Brain.
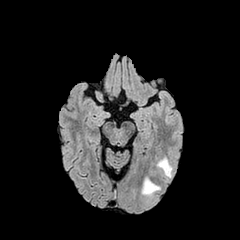
FLAIR magnetic resonance.
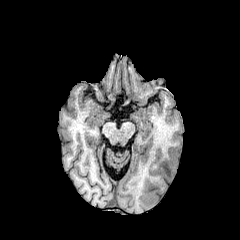
Same slice, T1-weighted magnetic resonance.
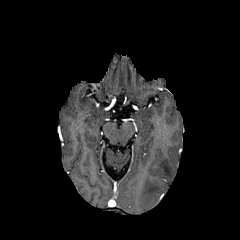
Post-contrast T1-weighted magnetic resonance.
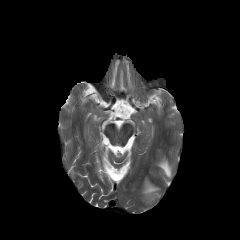
Same slice, T2-weighted magnetic resonance.
2 peritumoral edema regions are bounded by <bbox>157, 157, 172, 178</bbox>, <bbox>141, 177, 160, 202</bbox>.